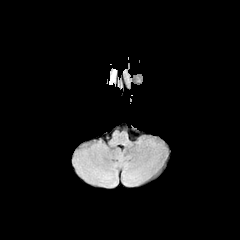
FLAIR MR.
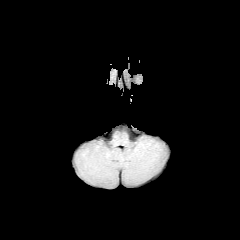
T1-weighted MR.
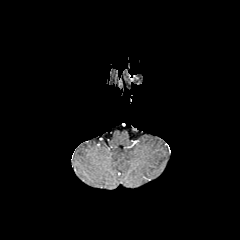
Post-contrast T1-weighted MR image of the same slice.
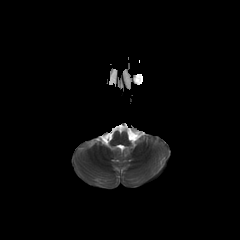
T2-weighted MR.
Brain.
The peritumoral edema appears at x1=109, y1=68, x2=117, y2=84.